FLAIR magnetic resonance.
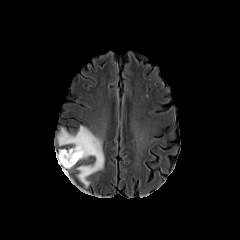
T1-weighted MRI.
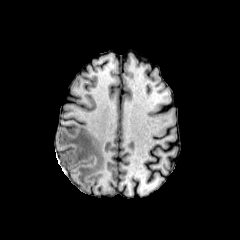
Post-contrast T1-weighted MR image.
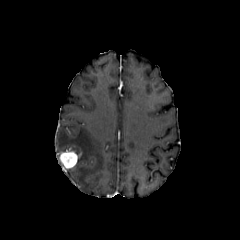
T2-weighted MRI.
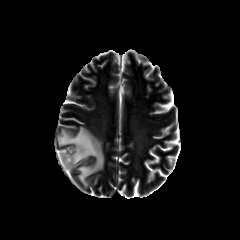
Head, Axial plane
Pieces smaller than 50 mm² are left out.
Findings:
- peritumoral edema: box=[57, 126, 104, 187]
- enhancing tumor: box=[58, 151, 81, 171]